FLAIR MR image.
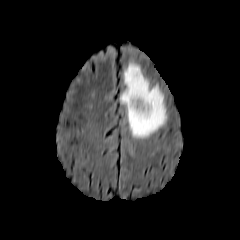
T1-weighted MR image.
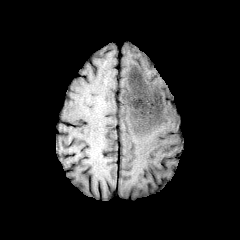
Post-contrast T1-weighted magnetic resonance.
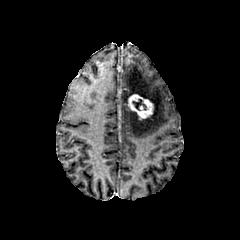
T2-weighted magnetic resonance.
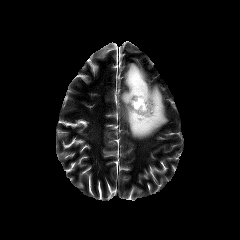
Axial slice; 240x240 px
{"peritumoral_edema": ["(120, 62, 167, 138)"], "necrotic_tumor_core": ["(133, 99, 146, 110)"], "enhancing_tumor": ["(127, 94, 154, 119)"]}